FLAIR MR.
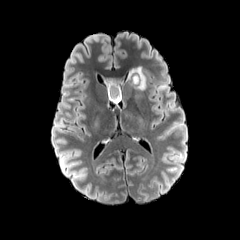
T1-weighted magnetic resonance.
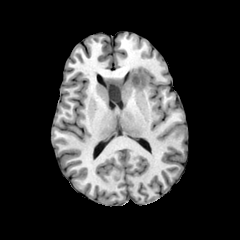
Post-contrast T1-weighted MRI.
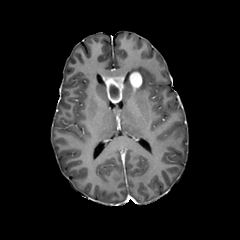
T2-weighted MR image.
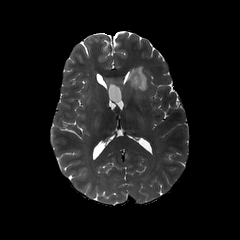
Axial plane
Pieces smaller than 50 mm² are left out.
necrotic tumor core: bounding box bbox(132, 74, 139, 84); bbox(110, 86, 118, 96)
peritumoral edema: bounding box bbox(125, 112, 131, 119); bbox(125, 65, 147, 91)
enhancing tumor: bounding box bbox(103, 75, 123, 103); bbox(130, 72, 142, 90)